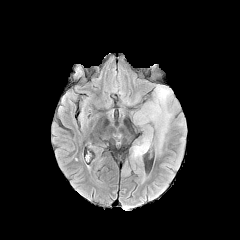
FLAIR MRI.
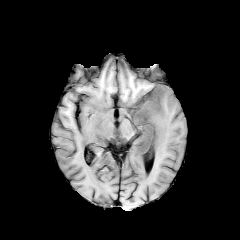
T1-weighted MR image of the same slice.
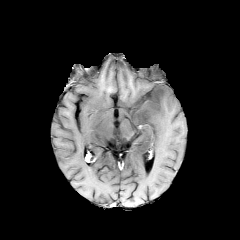
Post-contrast T1-weighted MRI of the same slice.
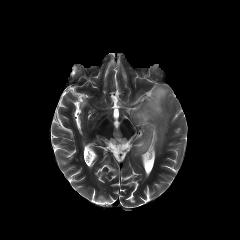
T2-weighted MR image of the same slice.
Axial view
The peritumoral edema appears at 128,82,180,154.